Image width 240 mm, 1.00 mm slice spacing; Slice index 106; 240x240 px
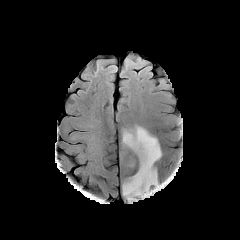
FLAIR magnetic resonance.
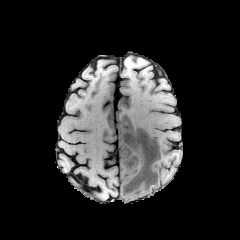
T1-weighted MR image.
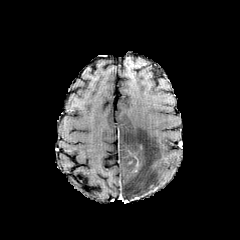
Same slice, post-contrast T1-weighted MRI.
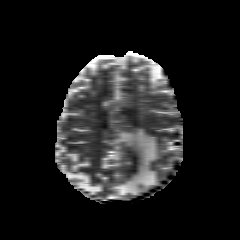
Same slice, T2-weighted magnetic resonance.
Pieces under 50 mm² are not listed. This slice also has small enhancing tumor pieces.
The peritumoral edema is located at <bbox>121, 126, 161, 200</bbox>.